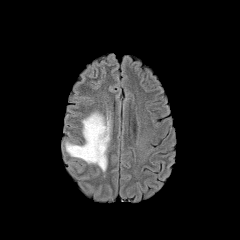
FLAIR magnetic resonance.
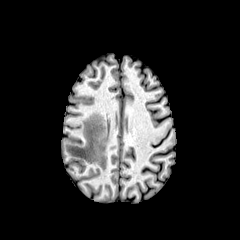
T1-weighted MR image.
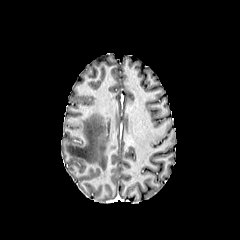
Post-contrast T1-weighted MR image of the same slice.
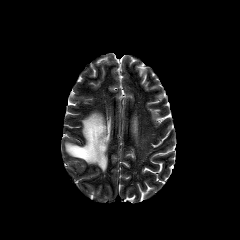
T2-weighted MR.
Head; Axial view
Annotated regions:
- peritumoral edema: x1=65, y1=112, x2=110, y2=171